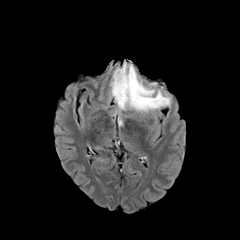
FLAIR magnetic resonance.
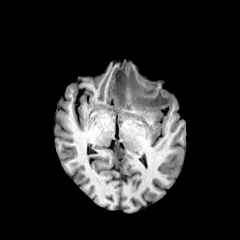
Same slice, T1-weighted MR.
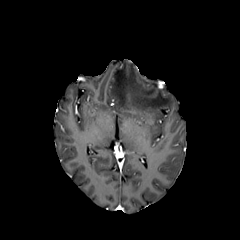
Post-contrast T1-weighted MR image of the same slice.
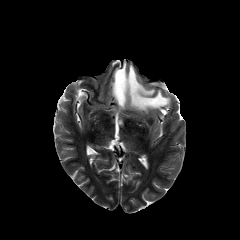
T2-weighted MRI.
240x240 px.
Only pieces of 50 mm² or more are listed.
- peritumoral edema: 111,62,170,112